FLAIR magnetic resonance.
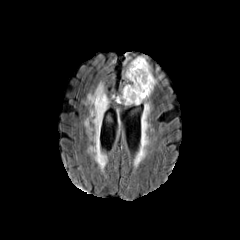
T1-weighted MR image.
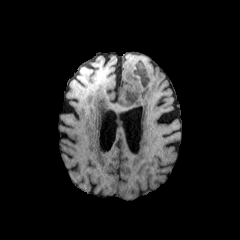
Post-contrast T1-weighted magnetic resonance.
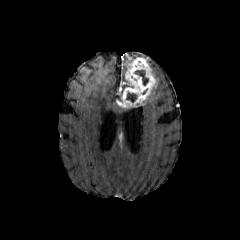
T2-weighted MR.
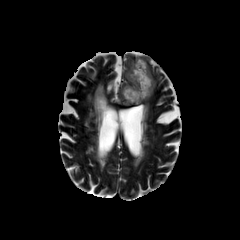
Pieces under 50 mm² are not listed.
The 2 largest peritumoral edema regions appear at <bbox>112, 80, 129, 100</bbox>, <bbox>122, 55, 135, 79</bbox>. The 2 largest necrotic tumor core regions appear at <bbox>134, 70, 148, 85</bbox>, <bbox>126, 92, 136, 102</bbox>. The enhancing tumor lies within <bbox>116, 57, 156, 107</bbox>.